Slice 108/155 | Image width 240 mm, 1.00 mm slice spacing | Head
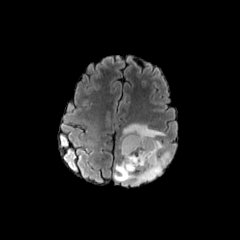
FLAIR MRI.
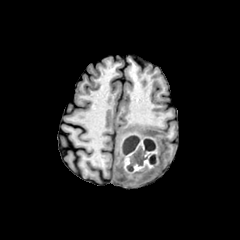
T1-weighted MR.
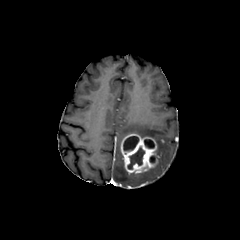
Post-contrast T1-weighted magnetic resonance.
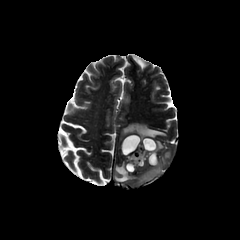
T2-weighted MR image.
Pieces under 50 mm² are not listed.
Annotated regions:
* peritumoral edema: l=114, t=123, r=171, b=185
* enhancing tumor: l=120, t=134, r=157, b=173
* necrotic tumor core: l=123, t=136, r=138, b=150; l=127, t=147, r=144, b=169; l=144, t=139, r=154, b=148